FLAIR magnetic resonance.
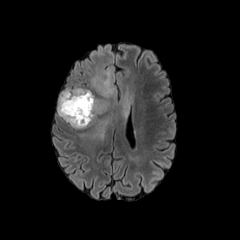
T1-weighted MRI.
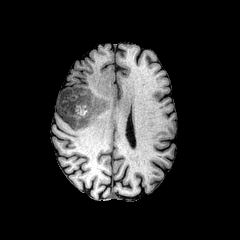
Post-contrast T1-weighted MR.
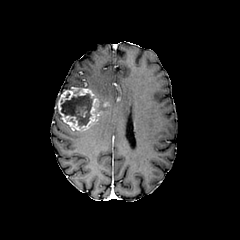
T2-weighted MR.
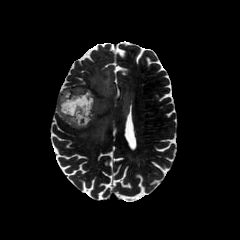
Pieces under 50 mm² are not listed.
The largest necrotic tumor core region is bounded by box(61, 94, 92, 125). The largest peritumoral edema region appears at box(90, 51, 132, 136). The largest enhancing tumor region is bounded by box(57, 87, 108, 130).